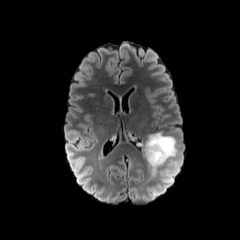
FLAIR MR.
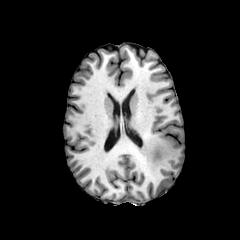
Same slice, T1-weighted MRI.
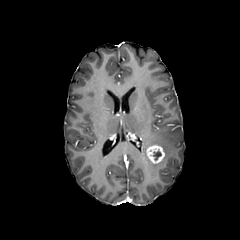
Post-contrast T1-weighted MRI.
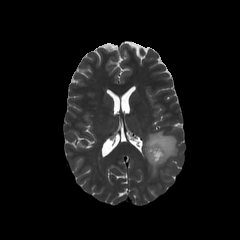
Same slice, T2-weighted MR image.
240x240 px | Brain | Axial slice
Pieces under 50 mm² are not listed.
The necrotic tumor core appears at x1=153, y1=151, x2=161, y2=160. The largest peritumoral edema region appears at x1=144, y1=132, x2=177, y2=174. The enhancing tumor is bounded by x1=146, y1=145, x2=164, y2=163.